Slice 68 of 155. Image width 240 mm. Axial plane.
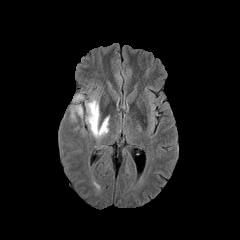
FLAIR MR image.
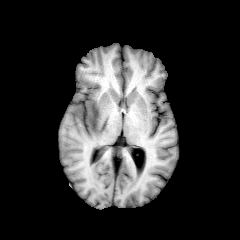
Same slice, T1-weighted MR.
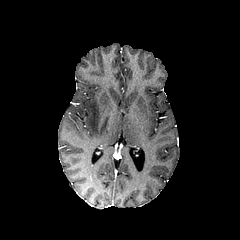
Same slice, post-contrast T1-weighted MR image.
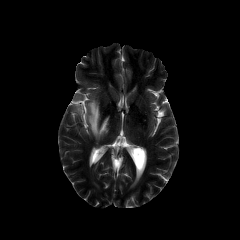
T2-weighted magnetic resonance.
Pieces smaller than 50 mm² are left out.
peritumoral edema: rect(73, 106, 82, 115); rect(86, 99, 108, 138)